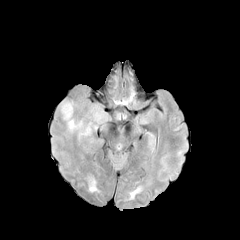
FLAIR magnetic resonance.
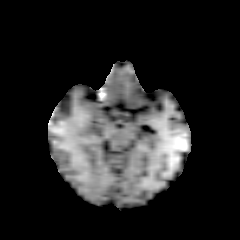
Same slice, T1-weighted MR image.
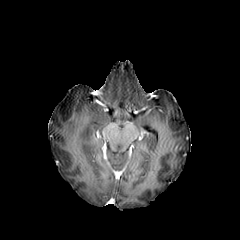
Post-contrast T1-weighted MR image.
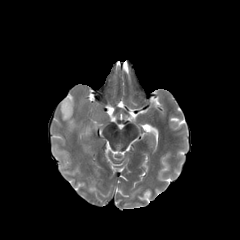
Same slice, T2-weighted magnetic resonance.
Head; Image size 240x240
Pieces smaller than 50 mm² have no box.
Annotated regions:
* peritumoral edema: [58,101,81,132]